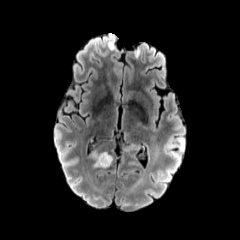
FLAIR MRI.
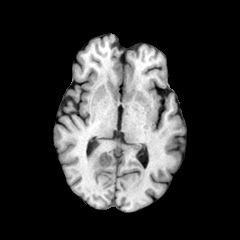
Same slice, T1-weighted MRI.
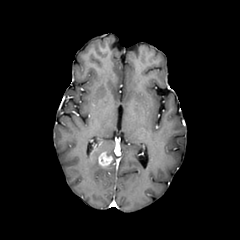
Same slice, post-contrast T1-weighted MR.
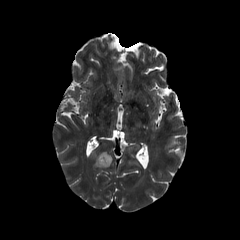
Same slice, T2-weighted MR.
240x240
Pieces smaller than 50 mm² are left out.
The largest peritumoral edema region is located at rect(91, 150, 101, 166). The enhancing tumor is located at rect(97, 151, 112, 168).